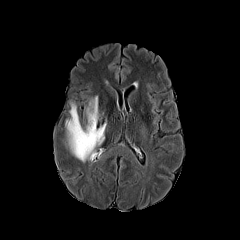
FLAIR MR image.
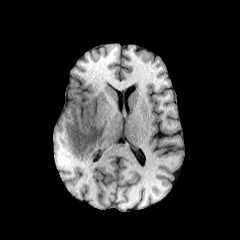
Same slice, T1-weighted magnetic resonance.
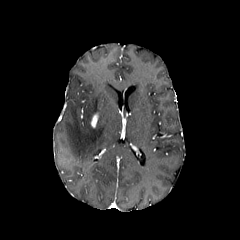
Post-contrast T1-weighted MR image.
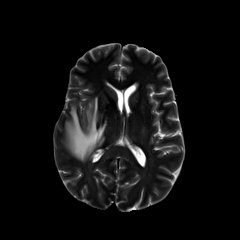
Same slice, T2-weighted magnetic resonance.
Brain
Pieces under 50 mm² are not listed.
enhancing tumor: bbox=[91, 113, 98, 128]
peritumoral edema: bbox=[65, 96, 106, 162]